Image covers 240 mm x 240 mm.
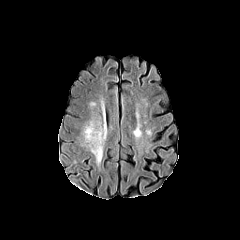
FLAIR MR image.
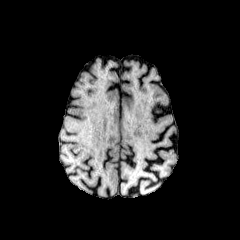
T1-weighted MR.
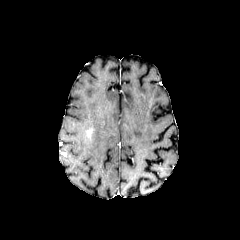
Post-contrast T1-weighted MR image.
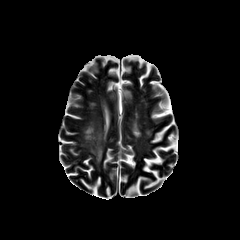
Same slice, T2-weighted MRI.
Findings:
* enhancing tumor: [x1=86, y1=128, x2=92, y2=142]
* peritumoral edema: [x1=84, y1=122, x2=102, y2=164]